Brain.
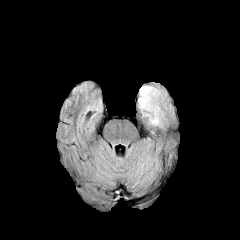
FLAIR MR image.
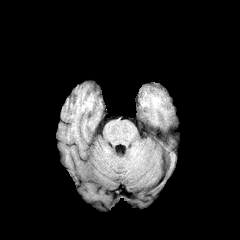
T1-weighted magnetic resonance of the same slice.
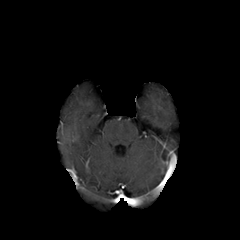
Post-contrast T1-weighted MRI.
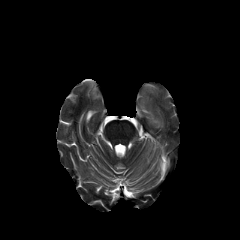
T2-weighted magnetic resonance.
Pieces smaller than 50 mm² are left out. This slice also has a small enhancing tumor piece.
{
  "peritumoral_edema": [
    {"x1": 139, "y1": 86, "x2": 165, "y2": 123}
  ]
}